Axial slice. Image size 240x240.
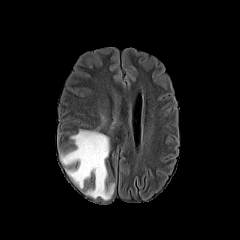
FLAIR MR.
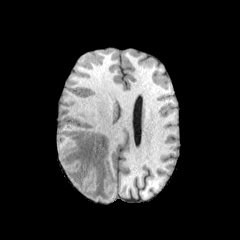
T1-weighted MRI.
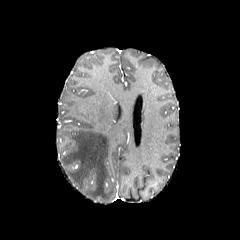
Post-contrast T1-weighted magnetic resonance.
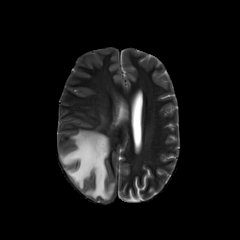
T2-weighted MR.
peritumoral_edema:
  - region(60, 130, 114, 200)